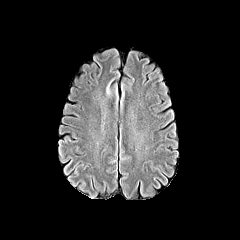
FLAIR MR.
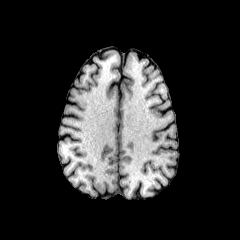
T1-weighted magnetic resonance of the same slice.
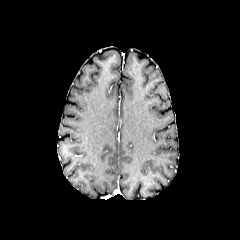
Post-contrast T1-weighted MRI of the same slice.
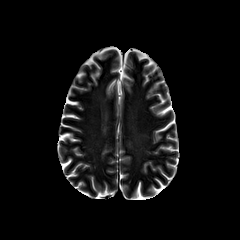
T2-weighted MR.
Axial view | Brain
peritumoral edema: {"x1": 105, "y1": 77, "x2": 117, "y2": 97}